FLAIR MR.
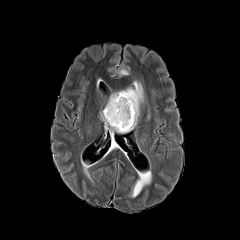
T1-weighted magnetic resonance.
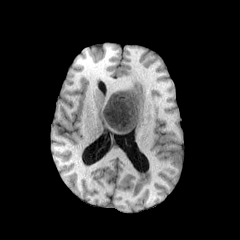
Post-contrast T1-weighted magnetic resonance.
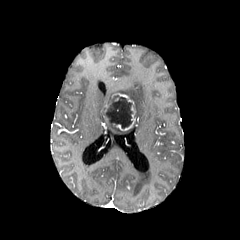
T2-weighted magnetic resonance.
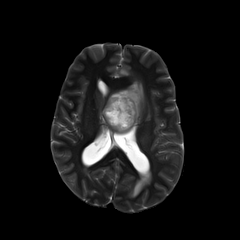
Brain, Axial slice
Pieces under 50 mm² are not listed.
enhancing tumor = <bbox>113, 93, 135, 130</bbox>
peritumoral edema = <bbox>120, 70, 128, 75</bbox>, <bbox>105, 121, 136, 133</bbox>, <bbox>118, 81, 143, 117</bbox>
necrotic tumor core = <bbox>104, 95, 132, 128</bbox>